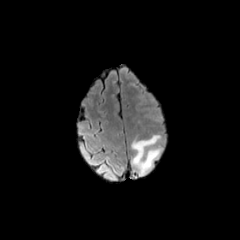
FLAIR MR image.
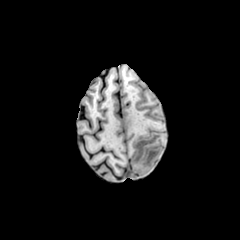
Same slice, T1-weighted MR.
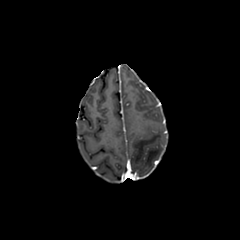
Post-contrast T1-weighted MR image of the same slice.
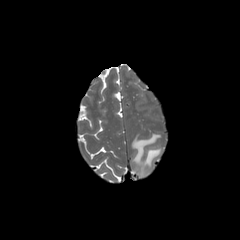
T2-weighted MR.
peritumoral edema: 131, 134, 161, 176